240x240 px; Axial plane
FLAIR MR image.
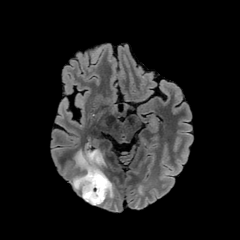
T1-weighted MRI.
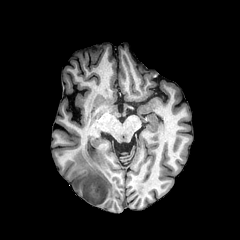
Post-contrast T1-weighted magnetic resonance.
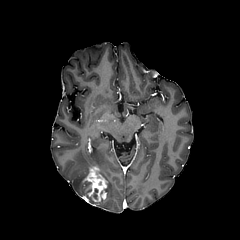
T2-weighted MR.
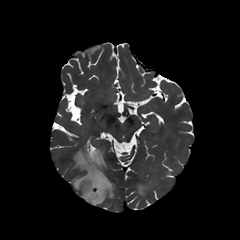
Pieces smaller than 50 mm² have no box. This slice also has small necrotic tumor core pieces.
enhancing_tumor:
  - (left=82, top=166, right=106, bottom=205)
peritumoral_edema:
  - (left=70, top=147, right=114, bottom=207)